FLAIR MR.
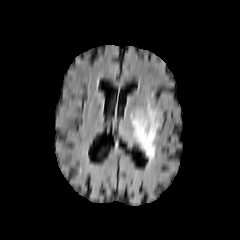
T1-weighted magnetic resonance.
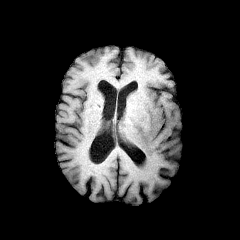
Post-contrast T1-weighted MR image.
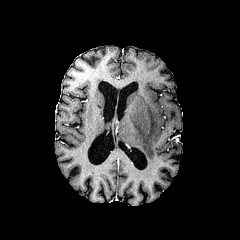
T2-weighted magnetic resonance.
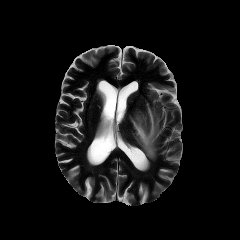
240x240, Brain
The peritumoral edema appears at (130, 103, 160, 160).